Brain
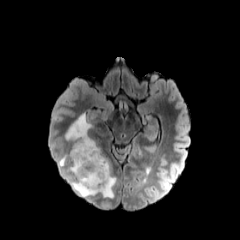
FLAIR MR.
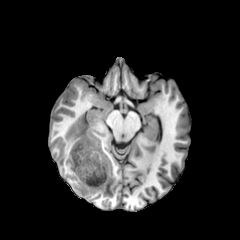
T1-weighted MR image.
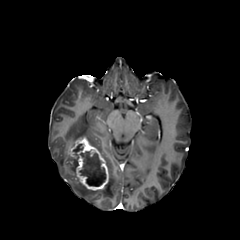
Post-contrast T1-weighted MRI.
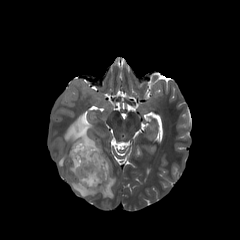
T2-weighted magnetic resonance.
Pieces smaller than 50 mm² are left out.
necrotic tumor core: x1=79, y1=151, x2=106, y2=186; x1=73, y1=144, x2=83, y2=158 | peritumoral edema: x1=64, y1=112, x2=116, y2=198; x1=58, y1=152, x2=71, y2=167 | enhancing tumor: x1=70, y1=137, x2=108, y2=190